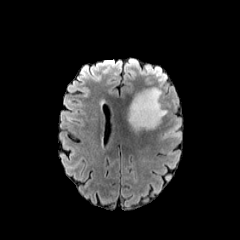
FLAIR MRI.
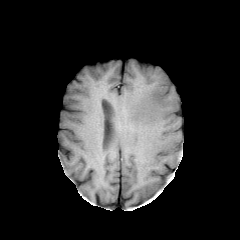
T1-weighted MR.
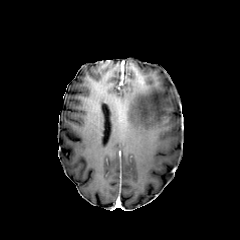
Same slice, post-contrast T1-weighted MR.
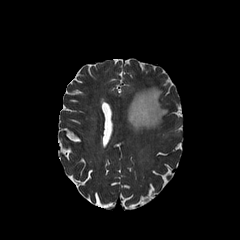
T2-weighted MR image of the same slice.
Head
- peritumoral edema: [129,87,167,130]